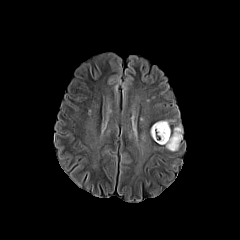
FLAIR MR image.
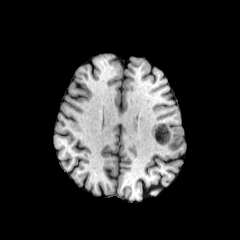
T1-weighted MR image.
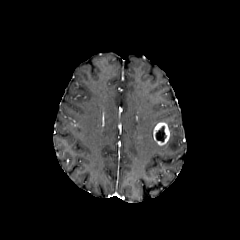
Same slice, post-contrast T1-weighted MR image.
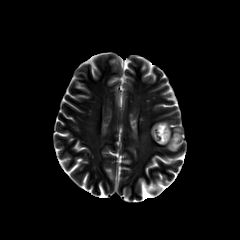
Same slice, T2-weighted MR image.
Axial plane | Head
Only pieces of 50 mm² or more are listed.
<segmentation>
  <necrotic_tumor_core>region(155, 126, 166, 141)</necrotic_tumor_core>
  <peritumoral_edema>region(166, 126, 182, 151)</peritumoral_edema>
  <enhancing_tumor>region(153, 122, 169, 145)</enhancing_tumor>
</segmentation>